FLAIR magnetic resonance.
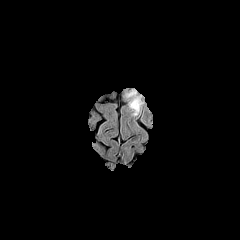
T1-weighted MRI.
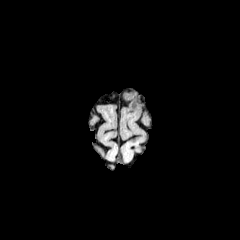
Post-contrast T1-weighted MR.
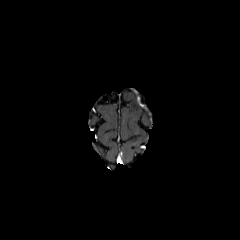
T2-weighted MR image.
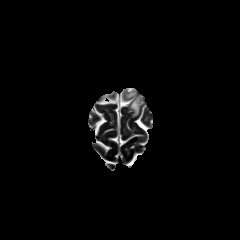
Findings:
* peritumoral edema: <box>125,91,140,116</box>